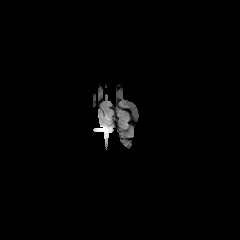
FLAIR magnetic resonance.
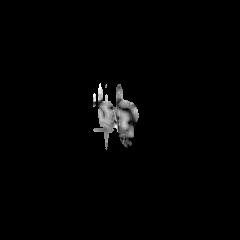
T1-weighted MR image.
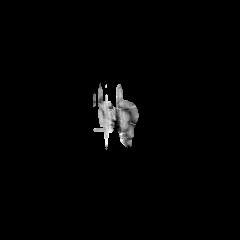
Same slice, post-contrast T1-weighted MRI.
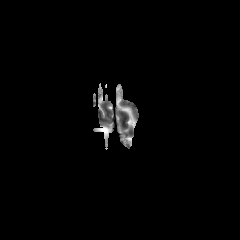
Same slice, T2-weighted MRI.
Axial view; 240x240 px; Head
enhancing tumor = [x1=104, y1=126, x2=111, y2=140]
peritumoral edema = [x1=94, y1=115, x2=113, y2=131]